FLAIR MR.
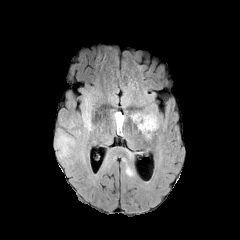
T1-weighted MR image.
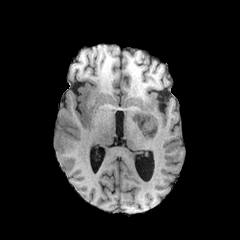
Post-contrast T1-weighted MR image.
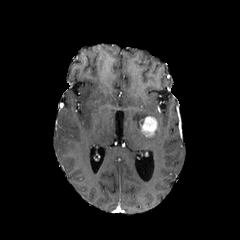
T2-weighted MR.
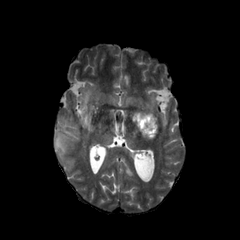
240x240; Head
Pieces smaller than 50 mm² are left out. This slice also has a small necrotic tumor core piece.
peritumoral edema at box(80, 94, 93, 131); box(124, 164, 134, 177); box(131, 111, 158, 130); box(55, 119, 84, 161)
enhancing tumor at box(140, 116, 158, 137)